Image size 240x240 | Brain
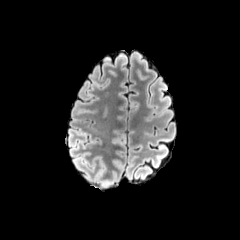
FLAIR MR.
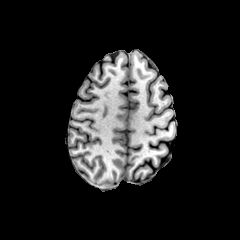
T1-weighted MR of the same slice.
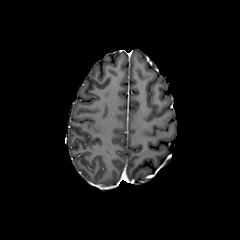
Post-contrast T1-weighted MR image of the same slice.
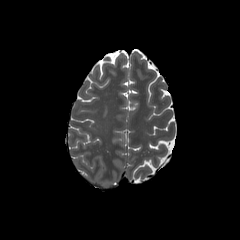
Same slice, T2-weighted magnetic resonance.
peritumoral edema: <box>97,180,113,187</box>